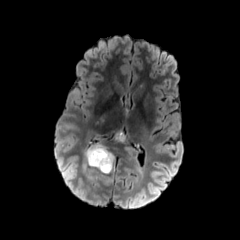
FLAIR magnetic resonance.
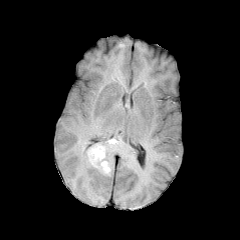
T1-weighted MRI.
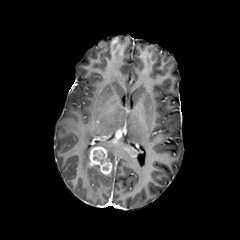
Post-contrast T1-weighted magnetic resonance of the same slice.
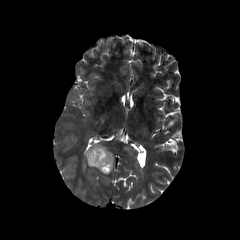
T2-weighted MR.
Image size 240x240. Axial plane.
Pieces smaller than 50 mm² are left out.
<segmentation>
  <peritumoral_edema>bbox=[82, 141, 115, 183]</peritumoral_edema>
  <necrotic_tumor_core>bbox=[93, 150, 104, 163]</necrotic_tumor_core>
  <enhancing_tumor>bbox=[124, 146, 138, 156]; bbox=[89, 146, 112, 174]; bbox=[114, 128, 123, 141]</enhancing_tumor>
</segmentation>